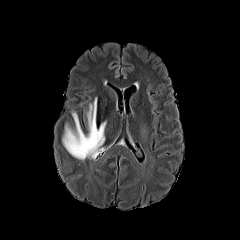
FLAIR MR.
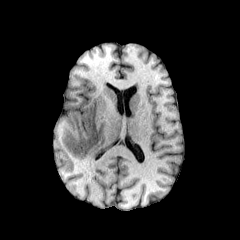
T1-weighted MRI.
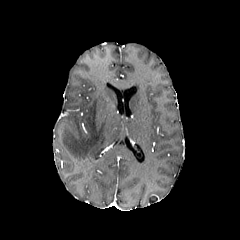
Post-contrast T1-weighted MR of the same slice.
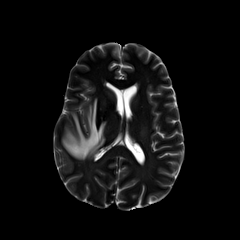
T2-weighted magnetic resonance.
240x240 px. Head.
{
  "peritumoral_edema": [
    "62,97,106,160"
  ]
}